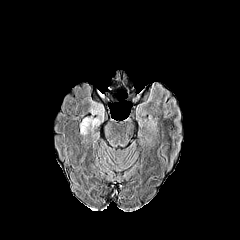
FLAIR MR.
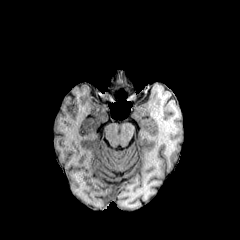
T1-weighted magnetic resonance.
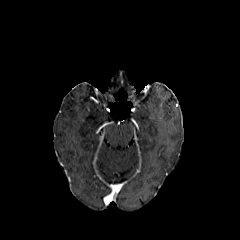
Post-contrast T1-weighted magnetic resonance.
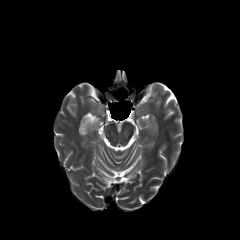
T2-weighted MR.
Head, Axial view
The peritumoral edema appears at [x1=81, y1=105, x2=101, y2=134].